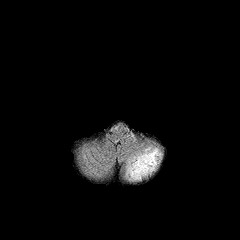
FLAIR MR.
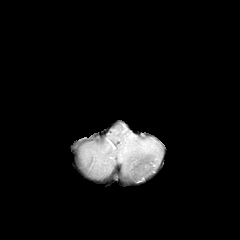
T1-weighted MR image.
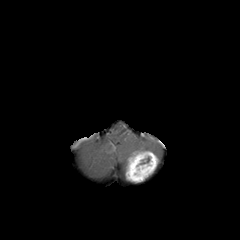
Same slice, post-contrast T1-weighted MRI.
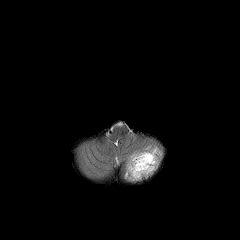
T2-weighted magnetic resonance.
240x240 px; Axial slice; Brain
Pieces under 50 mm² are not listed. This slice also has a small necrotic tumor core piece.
enhancing_tumor:
  - (x1=125, y1=151, x2=158, y2=182)
peritumoral_edema:
  - (x1=121, y1=142, x2=162, y2=172)